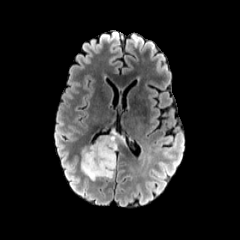
FLAIR MR.
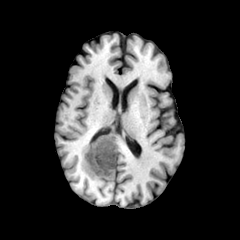
Same slice, T1-weighted MR image.
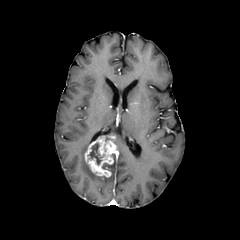
Post-contrast T1-weighted magnetic resonance of the same slice.
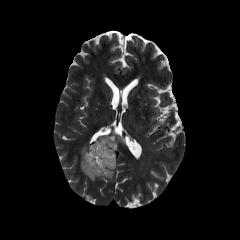
T2-weighted magnetic resonance.
Axial plane.
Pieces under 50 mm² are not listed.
enhancing tumor: bounding box [84,134,117,177]
peritumoral edema: bounding box [108,158,116,178], [81,147,98,179]
necrotic tumor core: bounding box [89,142,100,164]